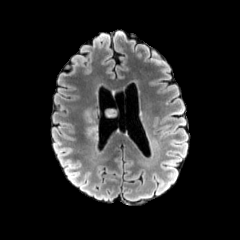
FLAIR magnetic resonance.
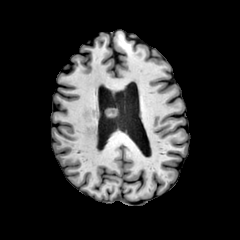
T1-weighted magnetic resonance of the same slice.
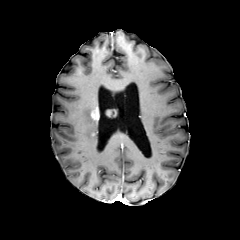
Post-contrast T1-weighted MRI of the same slice.
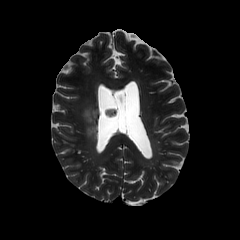
T2-weighted MR image of the same slice.
Brain
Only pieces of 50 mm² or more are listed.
The 2 largest enhancing tumor regions are located at [91,108,99,120], [105,108,116,117]. The peritumoral edema lies within [84,108,97,139].